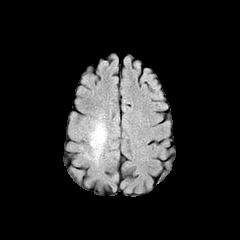
FLAIR MRI.
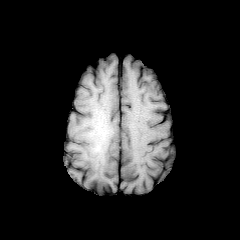
Same slice, T1-weighted magnetic resonance.
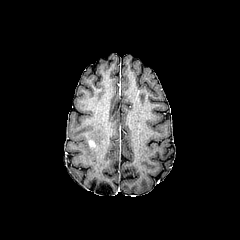
Post-contrast T1-weighted MR of the same slice.
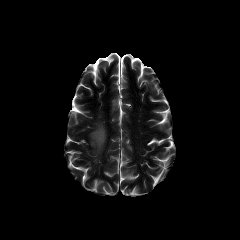
T2-weighted magnetic resonance.
Brain
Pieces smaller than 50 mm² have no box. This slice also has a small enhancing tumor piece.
peritumoral edema: bounding box 79 107 108 166